FLAIR magnetic resonance.
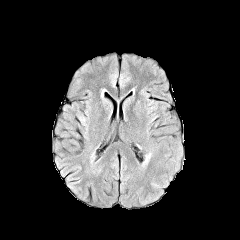
T1-weighted MR.
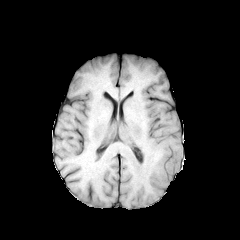
Post-contrast T1-weighted MR.
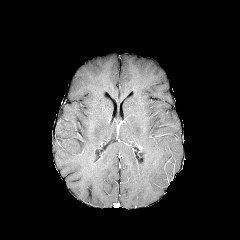
T2-weighted MRI.
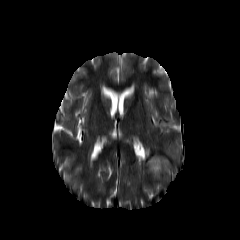
Head; 240x240
peritumoral edema: bounding box [x1=142, y1=152, x2=151, y2=166]